FLAIR MRI.
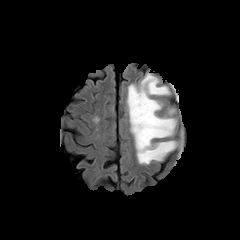
T1-weighted MRI.
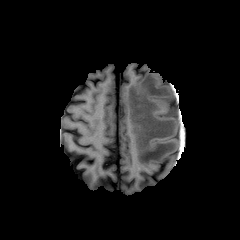
Post-contrast T1-weighted MRI.
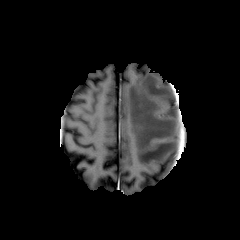
T2-weighted MR image.
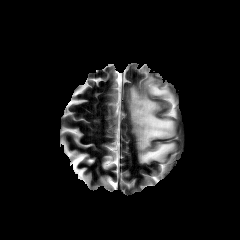
Axial slice
<segmentation>
  <peritumoral_edema>127,73,177,164</peritumoral_edema>
</segmentation>